FLAIR MR image.
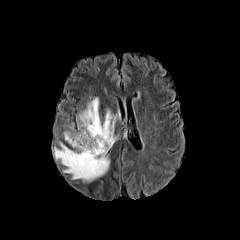
T1-weighted MR.
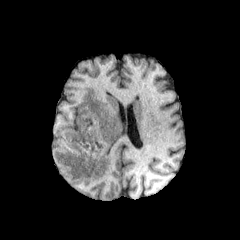
Post-contrast T1-weighted MRI.
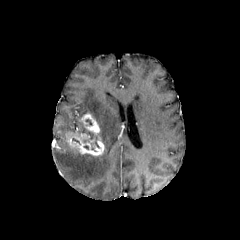
T2-weighted magnetic resonance.
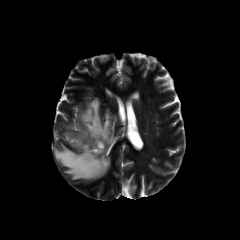
Axial slice, 240x240, Head
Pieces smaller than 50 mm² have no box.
{
  "peritumoral_edema": [
    "left=52, top=96, right=120, bottom=183"
  ],
  "enhancing_tumor": [
    "left=65, top=113, right=104, bottom=155"
  ],
  "necrotic_tumor_core": [
    "left=79, top=126, right=99, bottom=147"
  ]
}